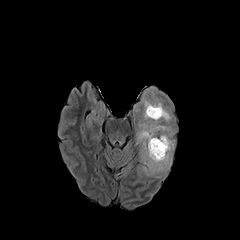
FLAIR MR.
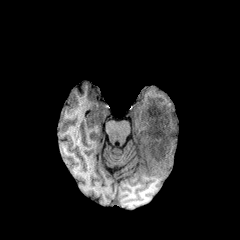
Same slice, T1-weighted MR image.
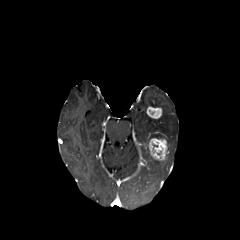
Post-contrast T1-weighted MR image of the same slice.
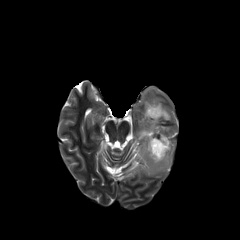
T2-weighted MR of the same slice.
Head
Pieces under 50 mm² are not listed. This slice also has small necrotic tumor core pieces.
2 enhancing tumor regions are bounded by (146,106,162,118), (147,138,167,160). The peritumoral edema is at (134,87,174,178).